Head. Axial plane. Slice 47/155.
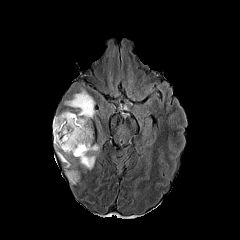
FLAIR MRI.
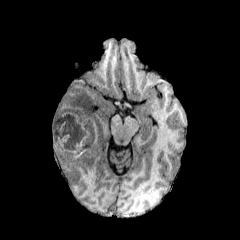
T1-weighted magnetic resonance.
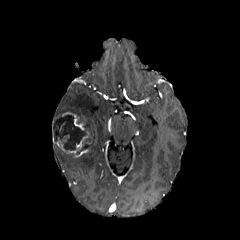
Post-contrast T1-weighted MR of the same slice.
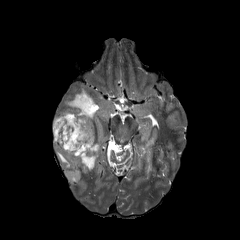
Same slice, T2-weighted magnetic resonance.
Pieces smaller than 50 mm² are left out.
peritumoral edema: bounding box <bbox>66, 169, 79, 183</bbox>, <bbox>89, 144, 99, 153</bbox>, <bbox>79, 153, 96, 169</bbox>, <bbox>65, 152, 77, 167</bbox>, <bbox>54, 144, 71, 167</bbox>, <bbox>65, 88, 94, 142</bbox>
necrotic tumor core: bounding box <bbox>54, 115, 91, 154</bbox>
enhancing tumor: bounding box <bbox>62, 112, 84, 130</bbox>, <bbox>56, 131, 89, 157</bbox>